FLAIR MRI.
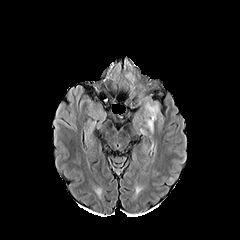
T1-weighted MR image.
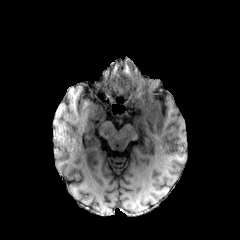
Post-contrast T1-weighted magnetic resonance.
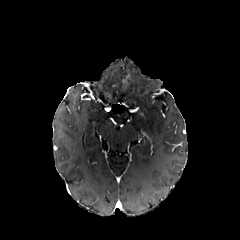
T2-weighted MR.
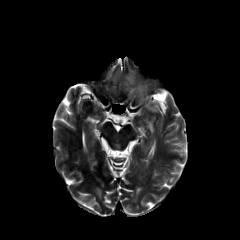
240x240 px; Brain
peritumoral edema: bounding box {"x1": 146, "y1": 104, "x2": 158, "y2": 112}, {"x1": 148, "y1": 116, "x2": 154, "y2": 130}